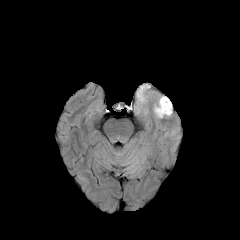
FLAIR MR.
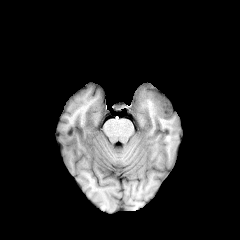
T1-weighted MR image.
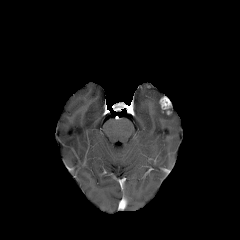
Post-contrast T1-weighted magnetic resonance.
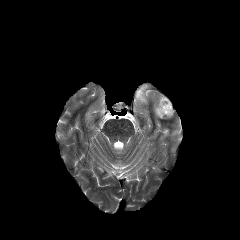
T2-weighted magnetic resonance of the same slice.
Brain.
enhancing tumor = rect(159, 96, 172, 115)
peritumoral edema = rect(134, 84, 172, 118)